FLAIR MRI.
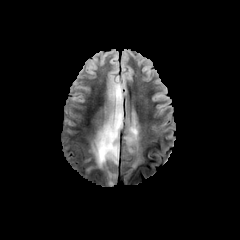
T1-weighted magnetic resonance.
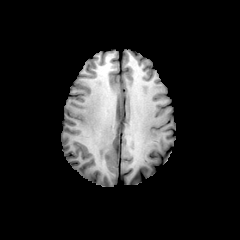
Post-contrast T1-weighted MRI.
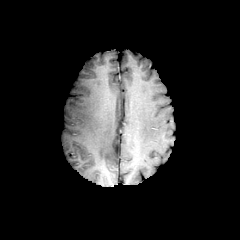
T2-weighted MR image.
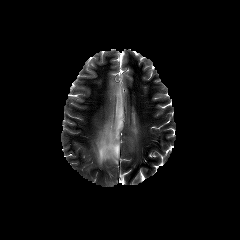
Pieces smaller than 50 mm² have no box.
peritumoral_edema:
  - (x1=93, y1=106, x2=123, y2=166)